FLAIR magnetic resonance.
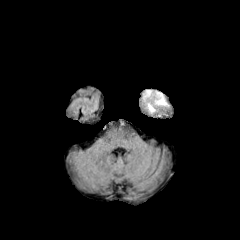
T1-weighted MR.
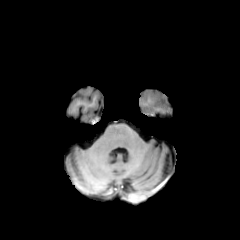
Post-contrast T1-weighted MR.
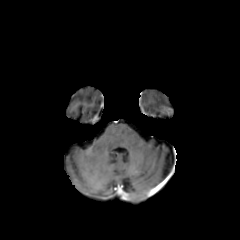
T2-weighted MR.
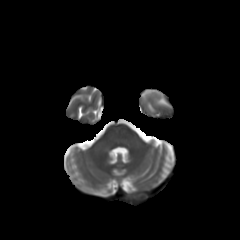
Brain
peritumoral edema = [140,91,171,117]